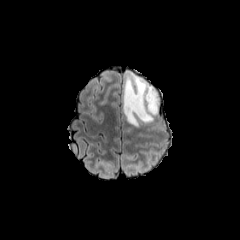
FLAIR magnetic resonance.
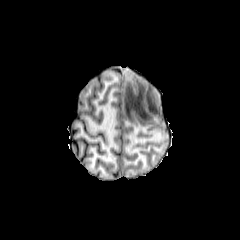
Same slice, T1-weighted magnetic resonance.
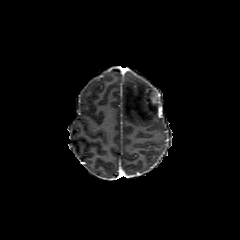
Same slice, post-contrast T1-weighted MR.
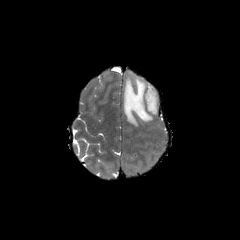
T2-weighted MRI.
Brain
The enhancing tumor is bounded by {"x1": 150, "y1": 93, "x2": 157, "y2": 103}. The peritumoral edema is at {"x1": 122, "y1": 73, "x2": 158, "y2": 126}.